FLAIR MR.
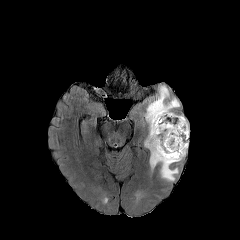
T1-weighted MRI.
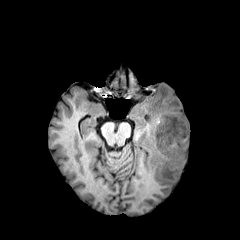
Post-contrast T1-weighted MR.
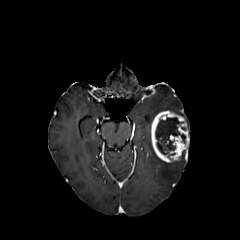
T2-weighted MR.
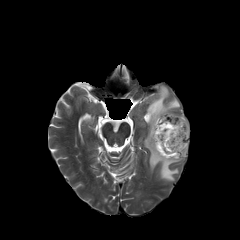
Axial slice.
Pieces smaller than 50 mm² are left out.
Findings:
• necrotic tumor core: x1=155 y1=118 x2=185 y2=154
• peritumoral edema: x1=145 y1=132 x2=178 y2=180, x1=146 y1=86 x2=179 y2=130
• enhancing tumor: x1=150 y1=110 x2=189 y2=162